FLAIR magnetic resonance.
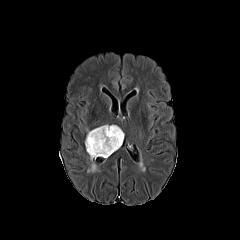
T1-weighted MR image.
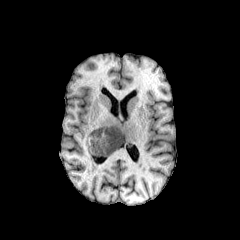
Post-contrast T1-weighted MRI.
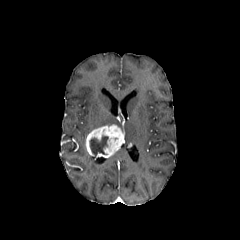
T2-weighted MR.
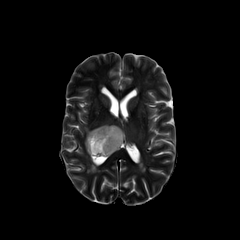
Head, 240x240 px
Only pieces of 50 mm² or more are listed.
necrotic_tumor_core:
  - [89, 136, 108, 157]
enhancing_tumor:
  - [85, 124, 124, 157]
peritumoral_edema:
  - [87, 155, 98, 172]